FLAIR MR.
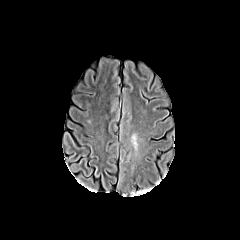
T1-weighted MRI.
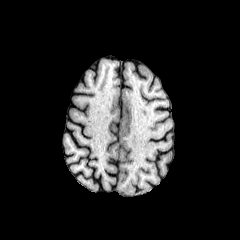
Post-contrast T1-weighted MRI.
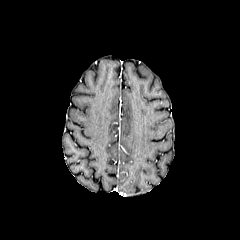
T2-weighted MR image.
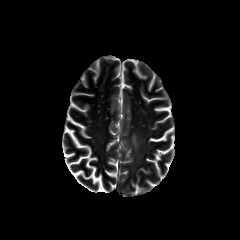
{
  "peritumoral_edema": [
    "<box>132,135,137,148</box>"
  ]
}